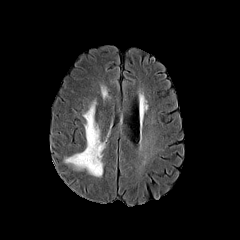
FLAIR MR.
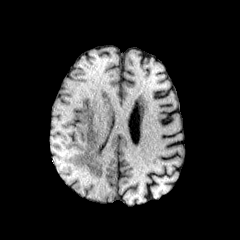
T1-weighted MR.
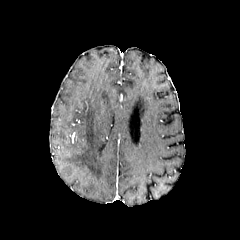
Post-contrast T1-weighted MRI.
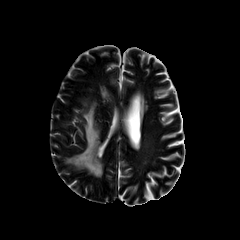
T2-weighted MR image.
Brain.
peritumoral edema at {"x1": 65, "y1": 102, "x2": 104, "y2": 176}